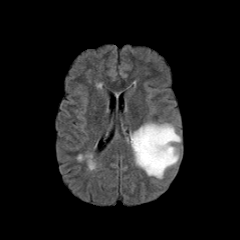
FLAIR MR image.
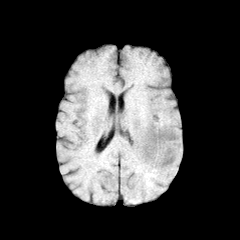
T1-weighted MR image of the same slice.
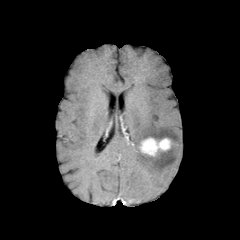
Same slice, post-contrast T1-weighted MR.
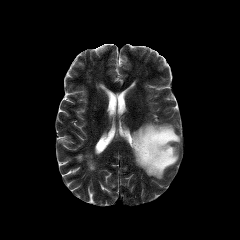
Same slice, T2-weighted MR image.
Axial slice
The peritumoral edema lies within [130, 122, 180, 178]. The enhancing tumor appears at [138, 137, 170, 156].